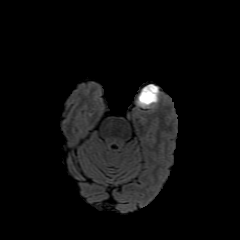
FLAIR MRI.
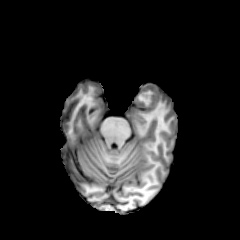
T1-weighted MR image.
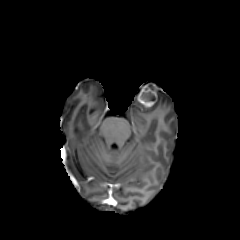
Same slice, post-contrast T1-weighted magnetic resonance.
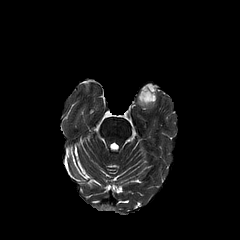
Same slice, T2-weighted MR image.
Brain
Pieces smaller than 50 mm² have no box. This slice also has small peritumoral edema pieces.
necrotic tumor core at rect(140, 88, 155, 101)
enhancing tumor at rect(138, 83, 157, 106)